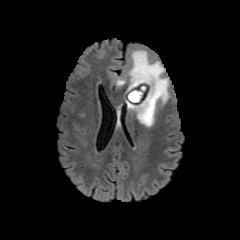
FLAIR MRI.
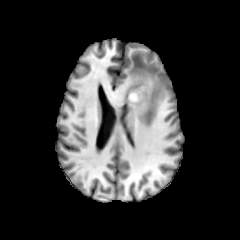
Same slice, T1-weighted MR.
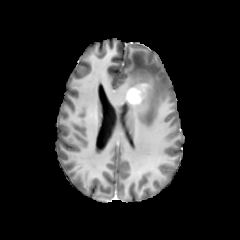
Post-contrast T1-weighted MR of the same slice.
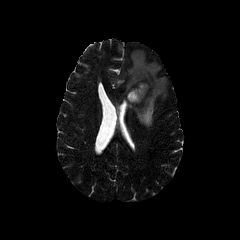
T2-weighted magnetic resonance.
Head; Axial plane
peritumoral edema: bounding box left=127, top=50, right=168, bottom=127; left=116, top=79, right=124, bottom=85
enhancing tumor: bounding box left=125, top=83, right=148, bottom=104